Head. 240x240 px. Axial plane.
FLAIR magnetic resonance.
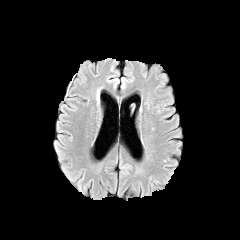
T1-weighted MR image.
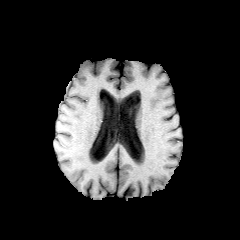
Post-contrast T1-weighted MRI.
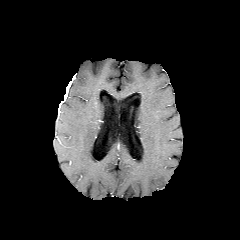
T2-weighted MRI.
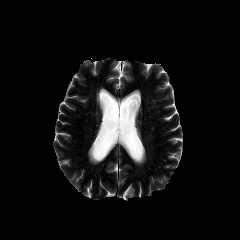
enhancing tumor: bounding box bbox(59, 81, 71, 106)